FLAIR MR.
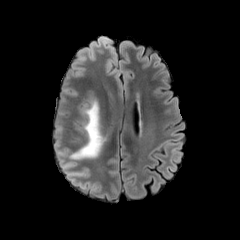
T1-weighted MR.
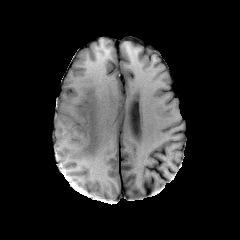
Post-contrast T1-weighted magnetic resonance.
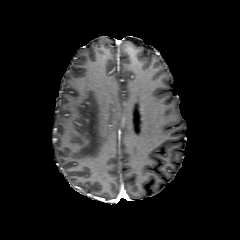
T2-weighted MR image.
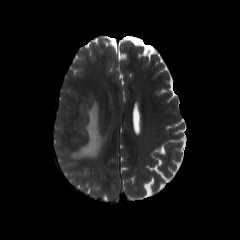
The peritumoral edema is located at bbox=[69, 99, 104, 159].